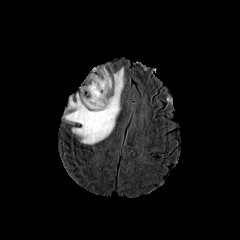
FLAIR magnetic resonance.
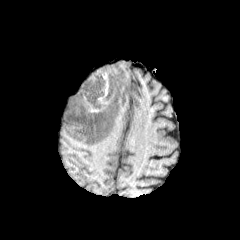
T1-weighted MR image.
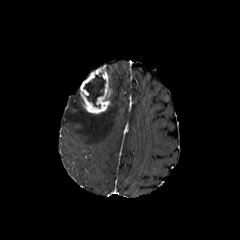
Post-contrast T1-weighted MR image of the same slice.
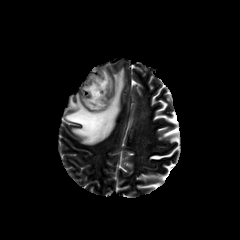
T2-weighted magnetic resonance.
Axial slice
<segmentation>
  <enhancing_tumor>l=80, t=66, r=111, b=114</enhancing_tumor>
  <peritumoral_edema>l=64, t=67, r=124, b=144</peritumoral_edema>
  <necrotic_tumor_core>l=83, t=73, r=105, b=107</necrotic_tumor_core>
</segmentation>